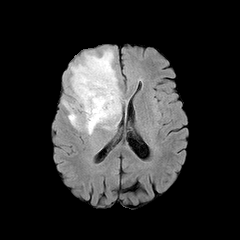
FLAIR MR.
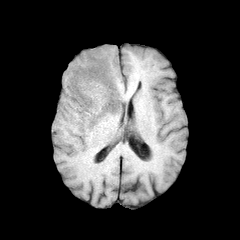
T1-weighted MR image.
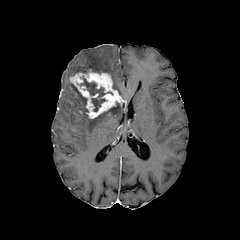
Post-contrast T1-weighted MRI.
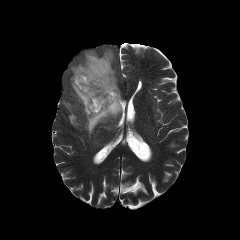
T2-weighted MR.
Axial slice. 240x240.
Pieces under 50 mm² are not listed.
peritumoral_edema:
  - [x1=71, y1=48, x2=120, y2=95]
  - [x1=63, y1=83, x2=121, y2=134]
enhancing_tumor:
  - [x1=69, y1=69, x2=126, y2=118]
necrotic_tumor_core:
  - [x1=80, y1=77, x2=105, y2=111]